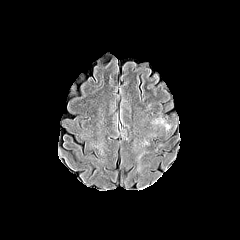
FLAIR MR.
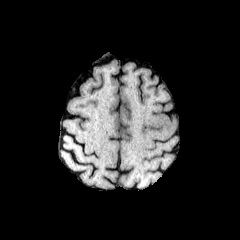
T1-weighted MRI.
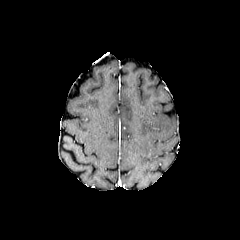
Post-contrast T1-weighted MR.
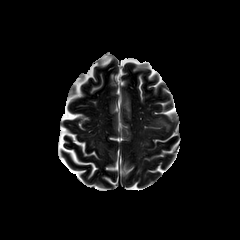
T2-weighted magnetic resonance of the same slice.
Brain
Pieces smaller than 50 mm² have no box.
* peritumoral edema: (152, 117, 170, 132)